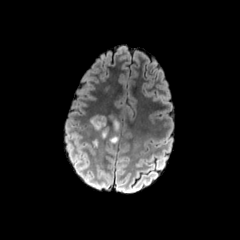
FLAIR MRI.
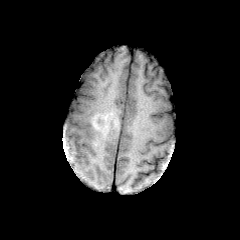
T1-weighted MRI of the same slice.
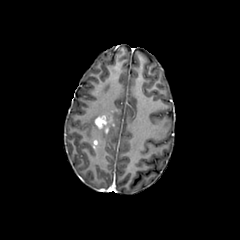
Post-contrast T1-weighted magnetic resonance of the same slice.
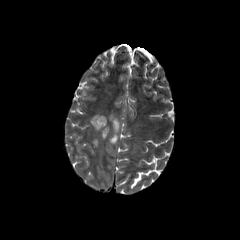
T2-weighted MRI.
Head; Axial slice
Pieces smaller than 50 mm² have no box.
Segmented structures:
* peritumoral edema: 108, 114, 119, 143; 90, 115, 107, 138
* enhancing tumor: 95, 115, 114, 133